Head | Axial view | 240x240 px | Image width 240 mm, 1.00 mm slice spacing
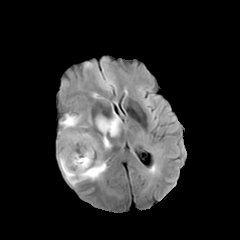
FLAIR MRI.
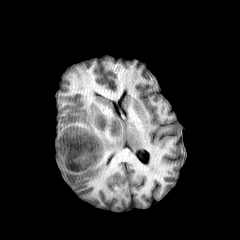
Same slice, T1-weighted MR image.
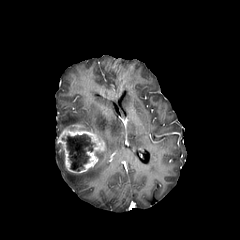
Post-contrast T1-weighted magnetic resonance.
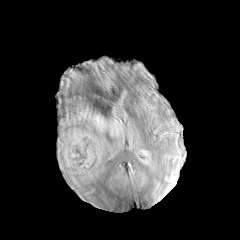
T2-weighted MR image.
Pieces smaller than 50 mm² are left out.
peritumoral edema: bounding box region(57, 151, 106, 186); region(60, 112, 122, 149)
necrotic tumor core: bounding box region(66, 134, 92, 170)
enhancing tumor: bounding box region(57, 124, 105, 173)